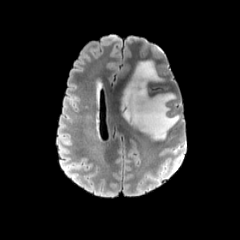
FLAIR MRI.
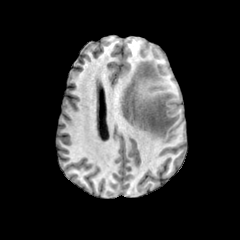
Same slice, T1-weighted MR image.
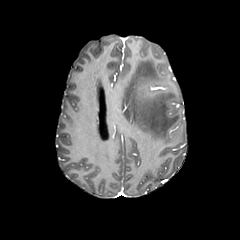
Post-contrast T1-weighted MR.
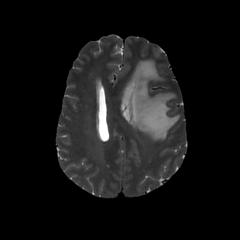
T2-weighted magnetic resonance.
Axial view; Head
peritumoral edema: box=[121, 60, 179, 140]